Slice 44/155
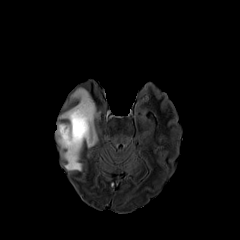
FLAIR MR.
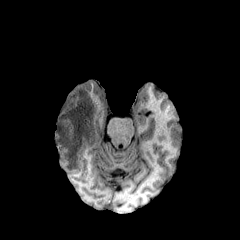
Same slice, T1-weighted MRI.
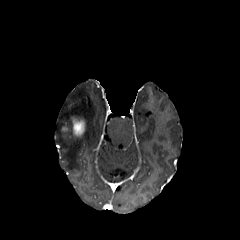
Post-contrast T1-weighted MR of the same slice.
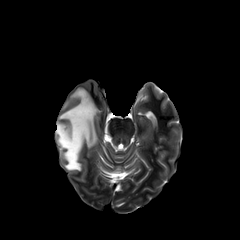
T2-weighted MR image of the same slice.
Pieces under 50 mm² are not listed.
The peritumoral edema is bounded by 56:87:97:170. The largest enhancing tumor region is at 72:117:85:136.